FLAIR MRI.
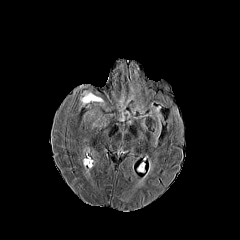
T1-weighted magnetic resonance.
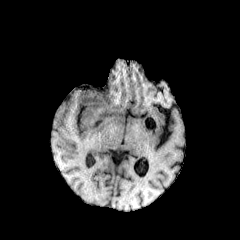
Post-contrast T1-weighted MR.
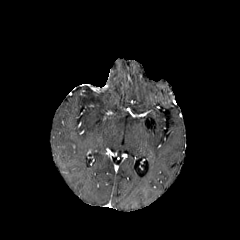
T2-weighted MR.
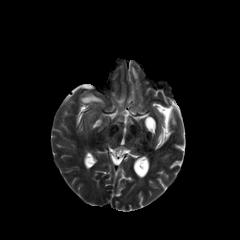
Image size 240x240; Head
The peritumoral edema lies within 81,93,103,103.